Image size 240x240 | Brain | Slice 88/155
FLAIR MRI.
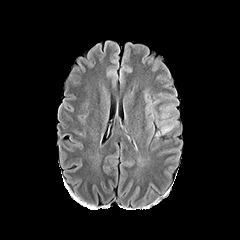
T1-weighted magnetic resonance.
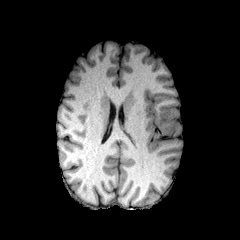
Post-contrast T1-weighted magnetic resonance.
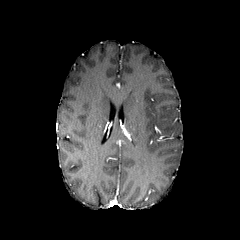
T2-weighted MR image.
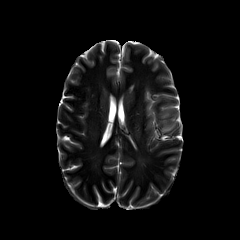
The peritumoral edema is located at <bbox>161, 125, 173, 134</bbox>.